FLAIR magnetic resonance.
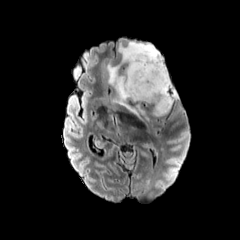
T1-weighted MR.
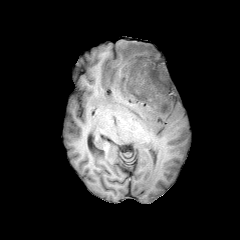
Post-contrast T1-weighted MR.
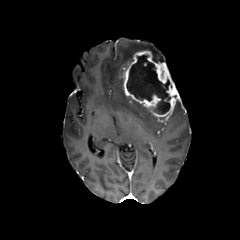
T2-weighted magnetic resonance.
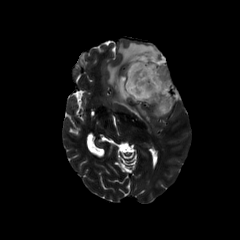
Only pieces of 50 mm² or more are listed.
<segmentation>
  <necrotic_tumor_core>[x1=126, y1=55, x2=170, y2=114]</necrotic_tumor_core>
  <enhancing_tumor>[x1=122, y1=50, x2=180, y2=118]</enhancing_tumor>
  <peritumoral_edema>[x1=107, y1=41, x2=164, y2=120]</peritumoral_edema>
</segmentation>